FLAIR MRI.
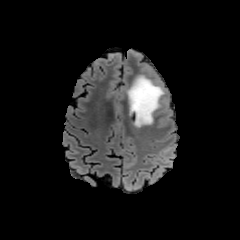
T1-weighted MR image.
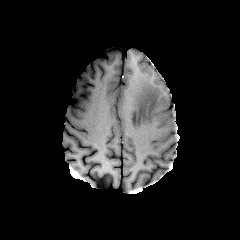
Post-contrast T1-weighted MRI.
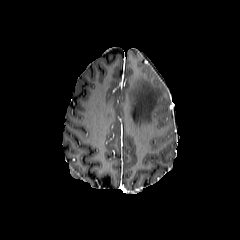
T2-weighted MR.
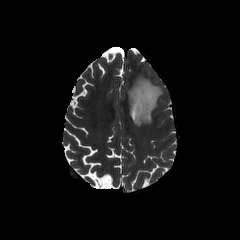
Axial view
peritumoral edema at left=127, top=75, right=163, bottom=126